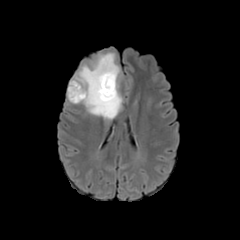
FLAIR MRI.
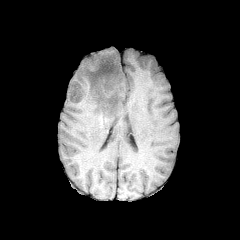
Same slice, T1-weighted MRI.
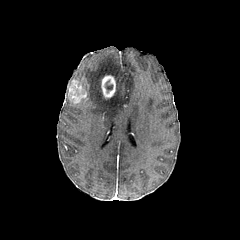
Post-contrast T1-weighted magnetic resonance of the same slice.
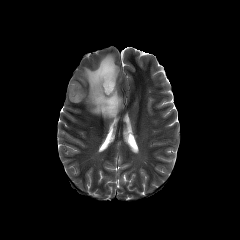
T2-weighted MR image.
Brain
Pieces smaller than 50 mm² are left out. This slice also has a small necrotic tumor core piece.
* peritumoral edema: [x1=73, y1=53, x2=122, y2=119]
* enhancing tumor: [x1=68, y1=80, x2=86, y2=103], [x1=101, y1=75, x2=115, y2=98]